FLAIR MRI.
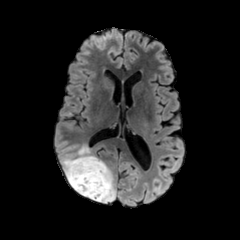
T1-weighted magnetic resonance.
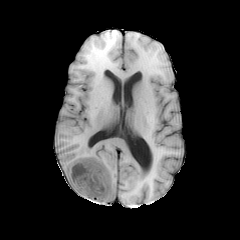
Post-contrast T1-weighted MR image.
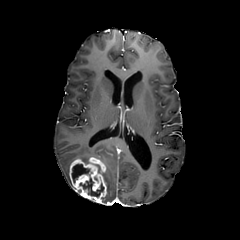
T2-weighted MR.
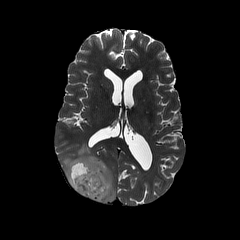
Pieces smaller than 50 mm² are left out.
{
  "enhancing_tumor": [
    "69,157,107,203"
  ],
  "necrotic_tumor_core": [
    "79,177,104,197",
    "72,164,90,183"
  ],
  "peritumoral_edema": [
    "61,144,97,184",
    "102,165,116,203"
  ]
}